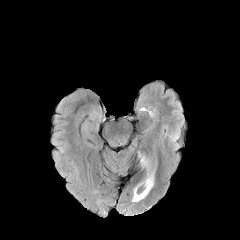
FLAIR magnetic resonance.
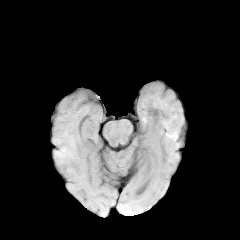
T1-weighted MR image.
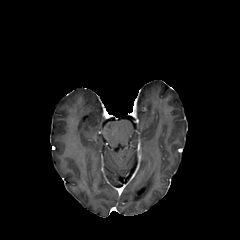
Post-contrast T1-weighted MR image of the same slice.
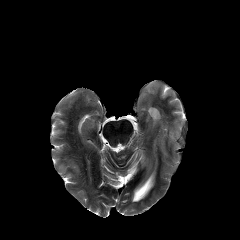
T2-weighted magnetic resonance.
Axial plane.
peritumoral edema: bounding box [132,172,153,201], [139,153,147,164]